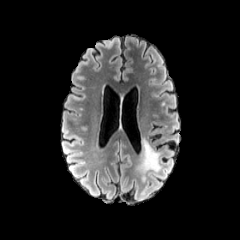
FLAIR MR image.
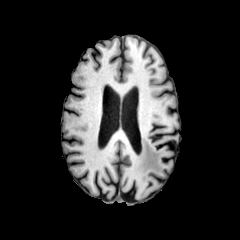
T1-weighted MRI.
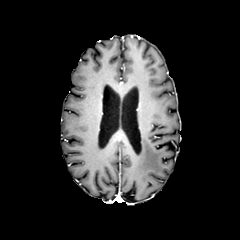
Post-contrast T1-weighted MR.
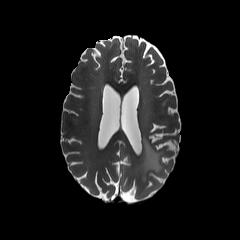
T2-weighted magnetic resonance.
Axial plane. Head.
peritumoral edema at [134, 138, 160, 181]